Axial slice. Image covers 240 mm x 240 mm.
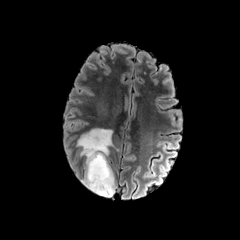
FLAIR magnetic resonance.
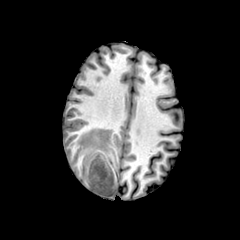
T1-weighted MR image.
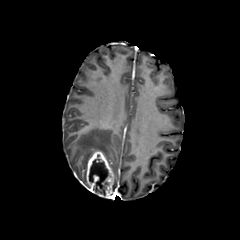
Post-contrast T1-weighted magnetic resonance.
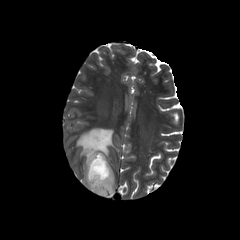
Same slice, T2-weighted MRI.
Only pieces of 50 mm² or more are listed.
The largest necrotic tumor core region appears at {"x1": 89, "y1": 159, "x2": 108, "y2": 195}. The largest enhancing tumor region is bounded by {"x1": 84, "y1": 151, "x2": 115, "y2": 197}. The largest peritumoral edema region is at {"x1": 76, "y1": 128, "x2": 114, "y2": 184}.